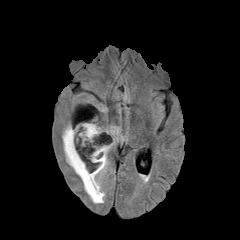
FLAIR MR image.
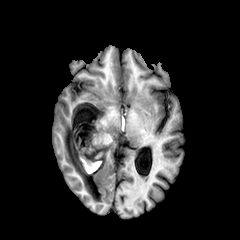
T1-weighted MR image.
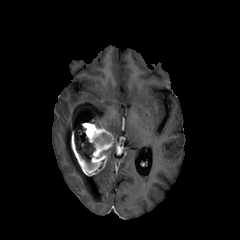
Same slice, post-contrast T1-weighted MRI.
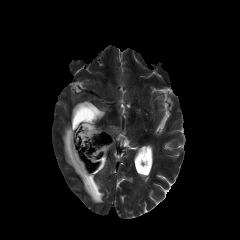
T2-weighted magnetic resonance.
Brain
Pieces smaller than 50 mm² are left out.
enhancing tumor: bounding box x1=71, y1=123, x2=114, y2=176
peritumoral edema: bounding box x1=104, y1=125, x2=120, y2=145; x1=62, y1=124, x2=109, y2=203
necrotic tumor core: bounding box x1=102, y1=133, x2=111, y2=142; x1=74, y1=128, x2=94, y2=167